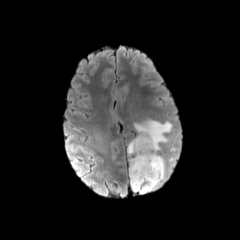
FLAIR magnetic resonance.
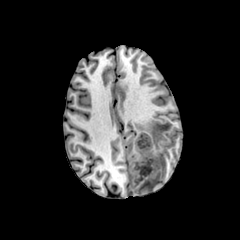
T1-weighted magnetic resonance.
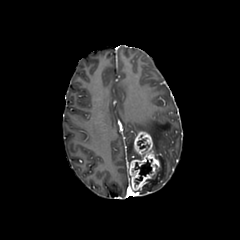
Post-contrast T1-weighted magnetic resonance of the same slice.
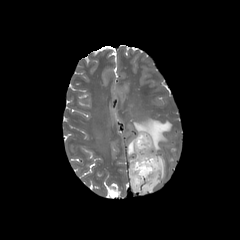
T2-weighted MR image.
240x240 px, Axial view
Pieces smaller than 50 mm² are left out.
* peritumoral edema: <box>128,139,138,158</box>, <box>132,119,171,193</box>
* necrotic tumor core: <box>134,159,151,186</box>, <box>138,138,149,149</box>
* enhancing tumor: <box>129,131,160,190</box>